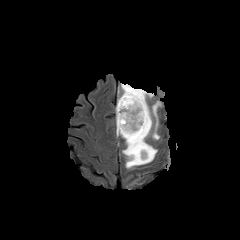
FLAIR MR.
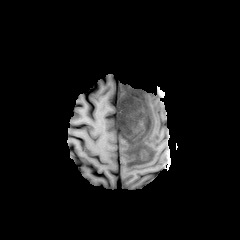
T1-weighted MRI.
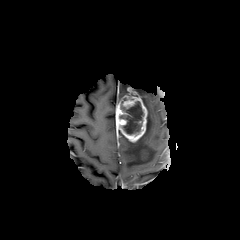
Post-contrast T1-weighted magnetic resonance.
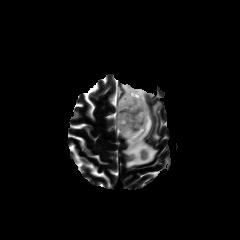
T2-weighted magnetic resonance.
Axial slice | Head
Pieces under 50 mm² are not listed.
{"peritumoral_edema": ["region(116, 88, 161, 168)", "region(117, 83, 130, 101)"], "enhancing_tumor": ["region(140, 148, 148, 160)", "region(115, 87, 147, 142)"], "necrotic_tumor_core": ["region(120, 101, 143, 134)"]}